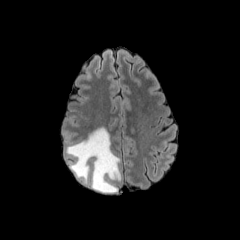
FLAIR MR image.
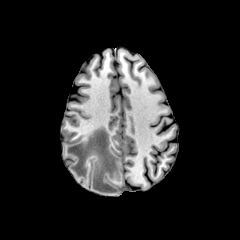
Same slice, T1-weighted magnetic resonance.
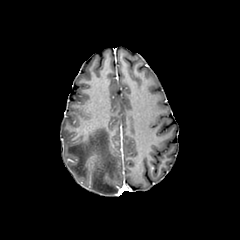
Post-contrast T1-weighted magnetic resonance of the same slice.
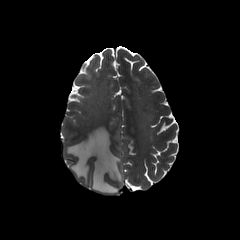
T2-weighted MR.
Image size 240x240.
The peritumoral edema is located at (x1=66, y1=127, x2=121, y2=193).